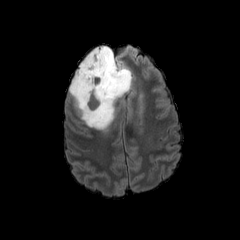
FLAIR magnetic resonance.
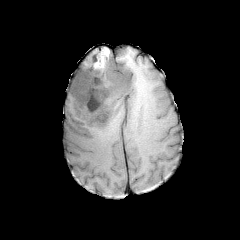
Same slice, T1-weighted MRI.
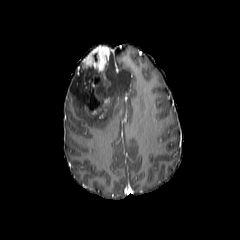
Post-contrast T1-weighted MR of the same slice.
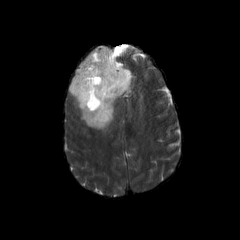
T2-weighted magnetic resonance.
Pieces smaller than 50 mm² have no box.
<segmentation>
  <peritumoral_edema>bbox=[69, 50, 131, 131]</peritumoral_edema>
  <enhancing_tumor>bbox=[85, 75, 110, 118]; bbox=[82, 46, 110, 79]</enhancing_tumor>
  <necrotic_tumor_core>bbox=[88, 90, 99, 109]</necrotic_tumor_core>
</segmentation>